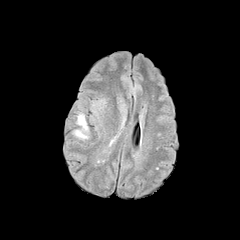
FLAIR MRI.
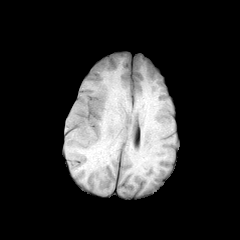
T1-weighted MRI.
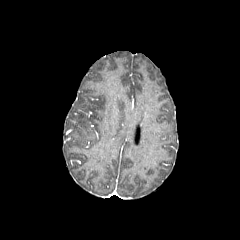
Post-contrast T1-weighted MRI.
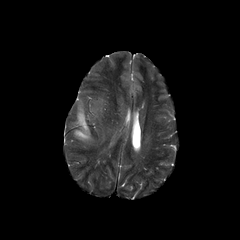
T2-weighted MR image of the same slice.
Axial plane.
<segmentation>
  <peritumoral_edema>x1=74, y1=113, x2=88, y2=139</peritumoral_edema>
</segmentation>